FLAIR MR image.
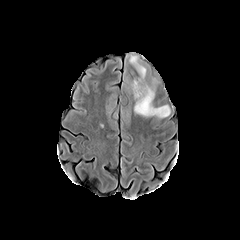
T1-weighted MR image.
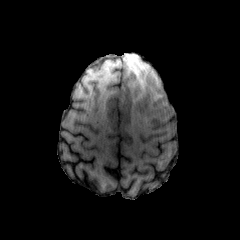
Post-contrast T1-weighted MR image.
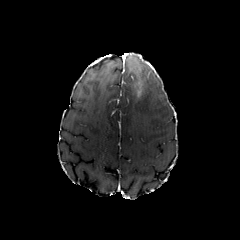
T2-weighted MR image.
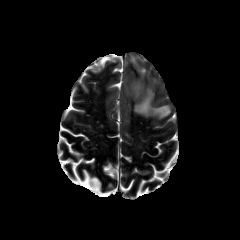
Head.
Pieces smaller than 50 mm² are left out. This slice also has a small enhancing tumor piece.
Segmented structures:
- peritumoral edema: rect(134, 90, 170, 117)